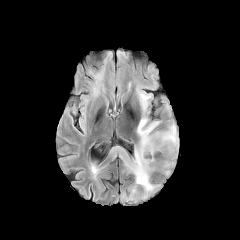
FLAIR MR image.
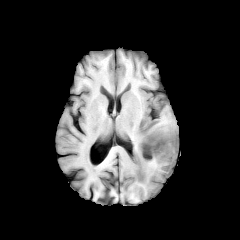
T1-weighted magnetic resonance.
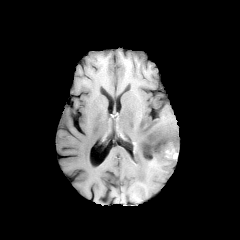
Post-contrast T1-weighted MR.
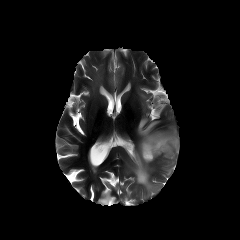
Same slice, T2-weighted magnetic resonance.
Head.
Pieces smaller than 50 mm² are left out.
Annotated regions:
* peritumoral edema: x1=125 y1=115 x2=178 y2=191, x1=164 y1=159 x2=173 y2=168
* enhancing tumor: x1=142 y1=137 x2=177 y2=159
* necrotic tumor core: x1=143 y1=140 x2=174 y2=158